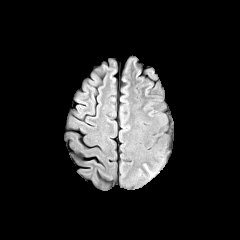
FLAIR magnetic resonance.
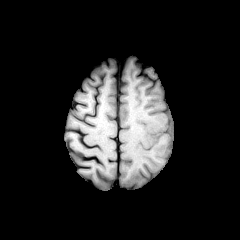
T1-weighted MR image.
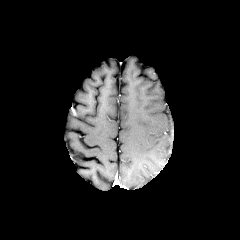
Post-contrast T1-weighted MRI.
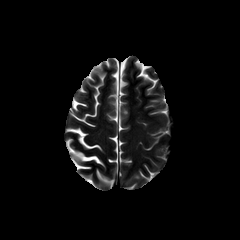
Same slice, T2-weighted MRI.
240x240, Axial view
The peritumoral edema lies within [139,163,159,180].